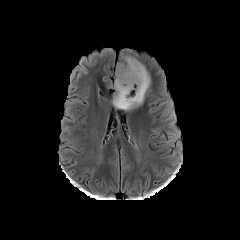
FLAIR MRI.
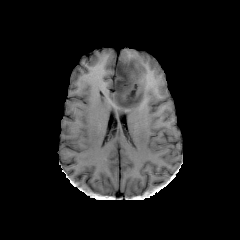
T1-weighted magnetic resonance of the same slice.
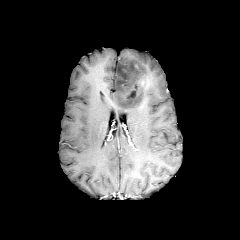
Same slice, post-contrast T1-weighted MR image.
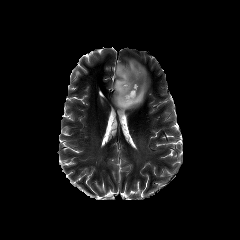
T2-weighted magnetic resonance.
Axial view, 240x240 px
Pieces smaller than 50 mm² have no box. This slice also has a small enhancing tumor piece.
Annotated regions:
- necrotic tumor core: (114,64,143,105)
- peritumoral edema: (112,57,150,110)